FLAIR magnetic resonance.
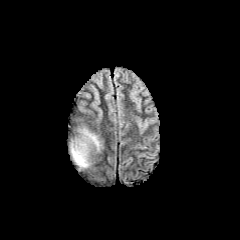
T1-weighted MR image.
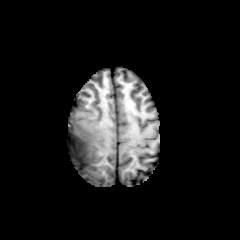
Post-contrast T1-weighted magnetic resonance.
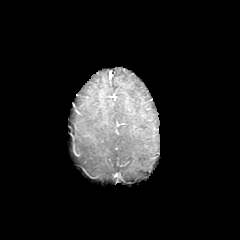
T2-weighted MR image.
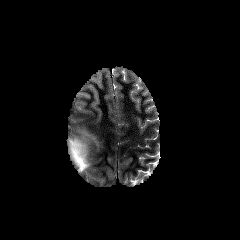
The peritumoral edema lies within region(69, 128, 100, 170).